FLAIR MR image.
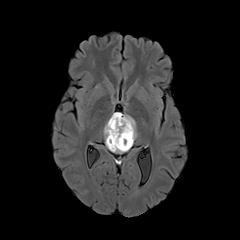
T1-weighted MRI.
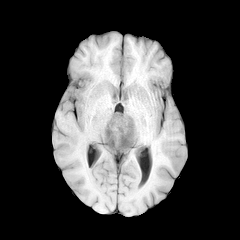
Post-contrast T1-weighted MRI.
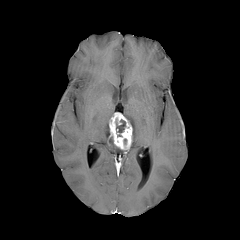
T2-weighted MR image.
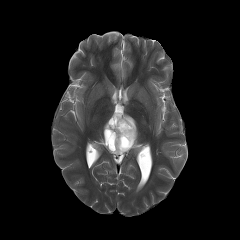
Axial plane. Brain.
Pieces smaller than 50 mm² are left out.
necrotic tumor core: [116,119,125,132], [107,129,115,147] | enhancing tumor: [109,112,132,150] | peritumoral edema: [122,114,137,146], [103,119,128,153]